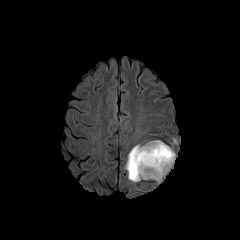
FLAIR MRI.
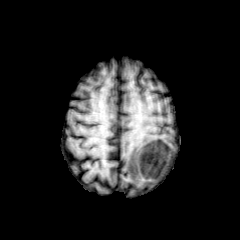
T1-weighted MR of the same slice.
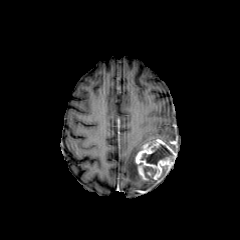
Post-contrast T1-weighted MR.
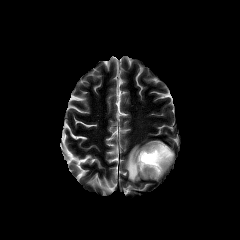
T2-weighted MR image of the same slice.
Brain, Axial plane
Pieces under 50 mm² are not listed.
• peritumoral edema: 125, 145, 141, 182
• necrotic tumor core: 144, 166, 156, 176; 141, 144, 172, 165
• enhancing tumor: 135, 139, 175, 180